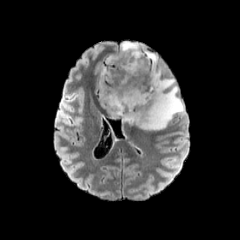
FLAIR MRI.
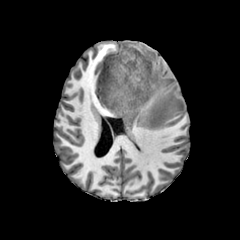
Same slice, T1-weighted MRI.
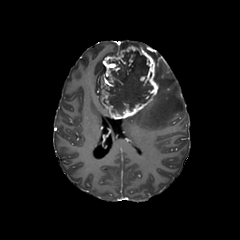
Post-contrast T1-weighted MRI of the same slice.
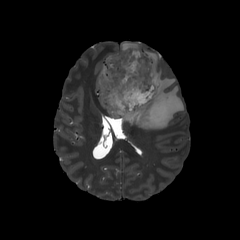
T2-weighted MR image of the same slice.
Head
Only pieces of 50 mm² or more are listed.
{
  "necrotic_tumor_core": [
    "(left=106, top=50, right=152, bottom=114)"
  ],
  "enhancing_tumor": [
    "(left=100, top=46, right=158, bottom=118)"
  ],
  "peritumoral_edema": [
    "(left=121, top=41, right=139, bottom=49)",
    "(left=123, top=66, right=184, bottom=130)",
    "(left=142, top=47, right=157, bottom=64)"
  ]
}